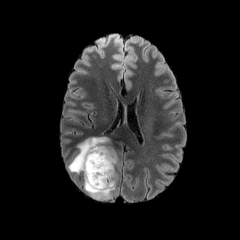
FLAIR magnetic resonance.
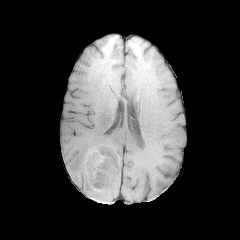
T1-weighted MRI.
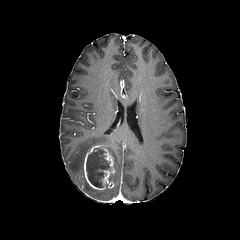
Post-contrast T1-weighted MR.
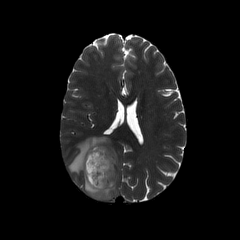
T2-weighted MR image of the same slice.
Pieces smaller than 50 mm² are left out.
peritumoral_edema:
  - 68,137,117,200
enhancing_tumor:
  - 83,145,114,190
necrotic_tumor_core:
  - 86,148,110,187